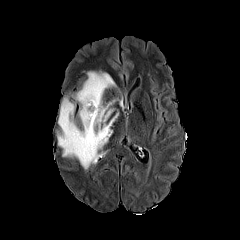
FLAIR MR image.
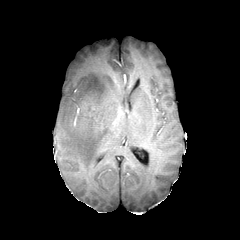
T1-weighted MRI.
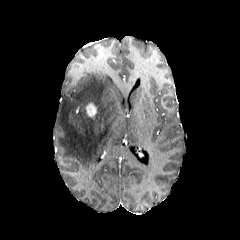
Same slice, post-contrast T1-weighted MR image.
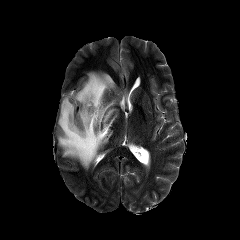
T2-weighted magnetic resonance.
Axial slice. Image size 240x240.
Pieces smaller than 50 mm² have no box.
peritumoral edema: left=57, top=71, right=118, bottom=169 | enhancing tumor: left=86, top=103, right=96, bottom=117